FLAIR MR.
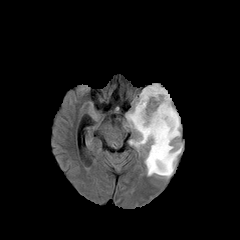
T1-weighted magnetic resonance.
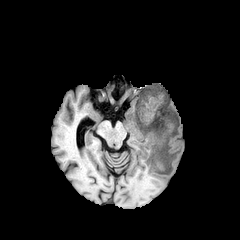
Post-contrast T1-weighted MRI.
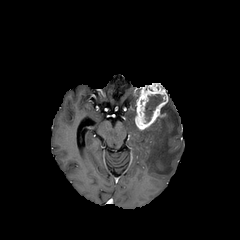
T2-weighted MR.
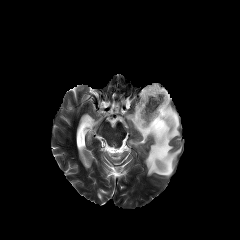
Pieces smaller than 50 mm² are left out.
peritumoral edema: [126,96,182,177]
necrotic tumor core: [145,94,162,121]
enhancing tumor: [134,83,168,130]